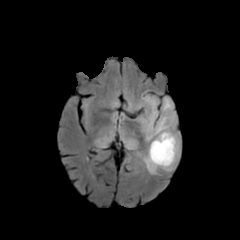
FLAIR MR image.
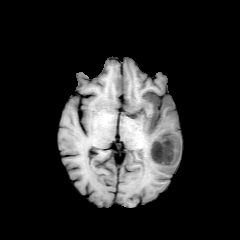
T1-weighted magnetic resonance of the same slice.
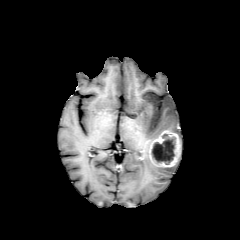
Same slice, post-contrast T1-weighted MR image.
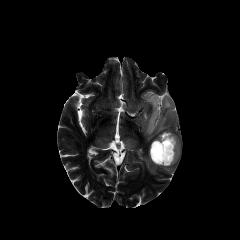
Same slice, T2-weighted magnetic resonance.
240x240 px | Axial slice
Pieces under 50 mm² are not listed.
Segmented structures:
- peritumoral edema: rect(136, 92, 180, 174)
- enhancing tumor: rect(149, 130, 181, 167)
- necrotic tumor core: rect(151, 137, 175, 164)